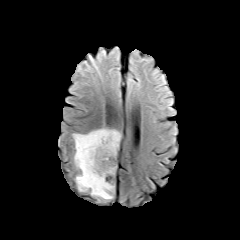
FLAIR MRI.
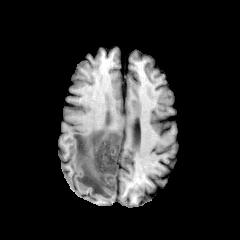
Same slice, T1-weighted MR image.
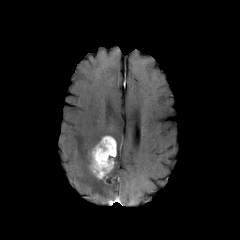
Same slice, post-contrast T1-weighted magnetic resonance.
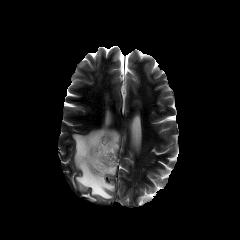
Same slice, T2-weighted magnetic resonance.
Head
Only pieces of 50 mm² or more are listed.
peritumoral_edema:
  - (left=73, top=128, right=121, bottom=200)
enhancing_tumor:
  - (left=89, top=135, right=116, bottom=179)